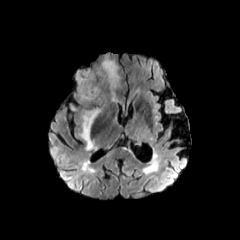
FLAIR MR image.
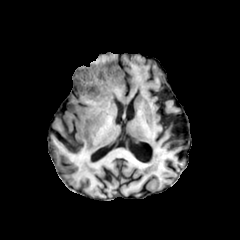
T1-weighted MRI.
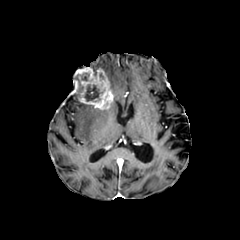
Post-contrast T1-weighted magnetic resonance.
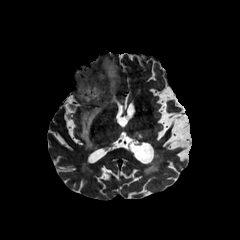
T2-weighted magnetic resonance of the same slice.
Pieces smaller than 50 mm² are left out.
{
  "necrotic_tumor_core": [
    "bbox(84, 85, 102, 101)"
  ],
  "peritumoral_edema": [
    "bbox(102, 59, 119, 93)",
    "bbox(79, 108, 101, 150)"
  ],
  "enhancing_tumor": [
    "bbox(73, 67, 113, 109)"
  ]
}